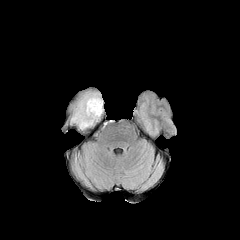
FLAIR MR image.
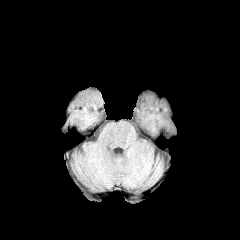
T1-weighted magnetic resonance.
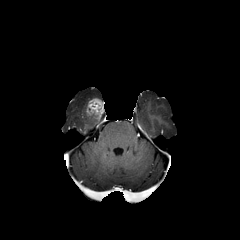
Same slice, post-contrast T1-weighted magnetic resonance.
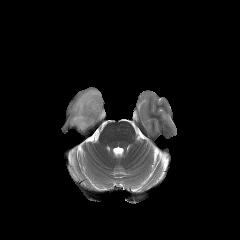
T2-weighted MR image of the same slice.
Image size 240x240. Axial plane. Brain.
The enhancing tumor is at <bbox>86, 98, 104, 119</bbox>. The peritumoral edema lies within <bbox>71, 92, 101, 129</bbox>.